FLAIR MR.
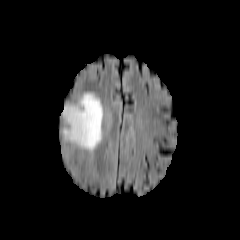
T1-weighted MR.
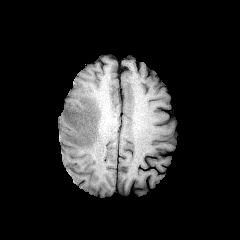
Post-contrast T1-weighted MRI.
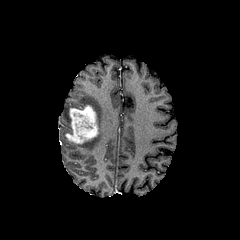
T2-weighted MR.
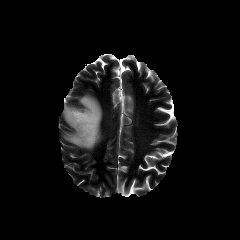
Image size 240x240.
enhancing tumor: bbox(65, 105, 98, 144) | peritumoral edema: bbox(62, 93, 103, 151)